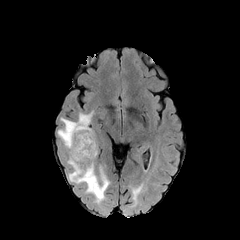
FLAIR MRI.
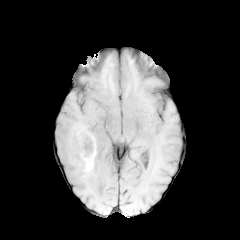
T1-weighted magnetic resonance.
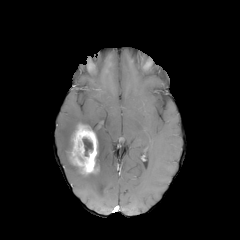
Post-contrast T1-weighted MR image.
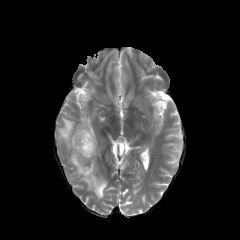
T2-weighted MR image of the same slice.
240x240 px.
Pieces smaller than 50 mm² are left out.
<segmentation>
  <enhancing_tumor>70 124 98 174</enhancing_tumor>
  <necrotic_tumor_core>83 138 92 156</necrotic_tumor_core>
  <peritumoral_edema>57 111 109 202</peritumoral_edema>
</segmentation>